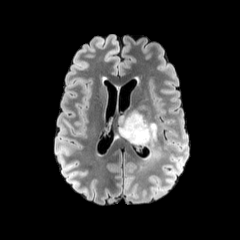
FLAIR MR.
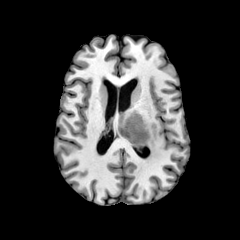
T1-weighted magnetic resonance.
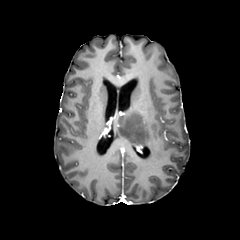
Same slice, post-contrast T1-weighted MRI.
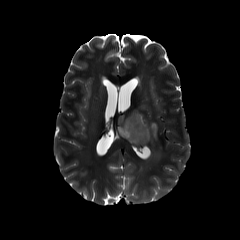
Same slice, T2-weighted MR image.
peritumoral_edema:
  - box(118, 110, 161, 160)